FLAIR MR image.
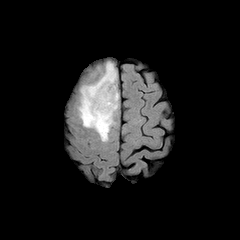
T1-weighted MR image.
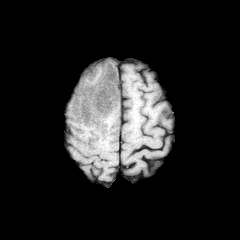
Post-contrast T1-weighted MR.
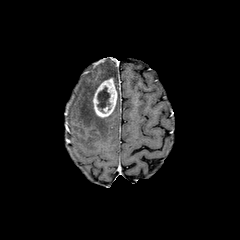
T2-weighted MRI.
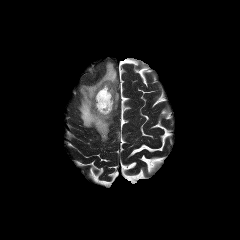
240x240; Axial slice; Brain
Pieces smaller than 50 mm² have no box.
peritumoral edema: 78,62,116,141 | necrotic tumor core: 97,87,110,111 | enhancing tumor: 93,78,117,117